FLAIR MR.
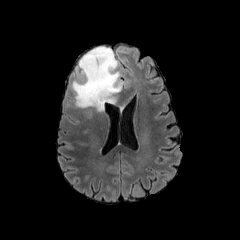
T1-weighted magnetic resonance.
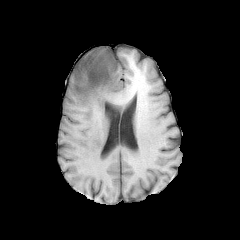
Post-contrast T1-weighted MR.
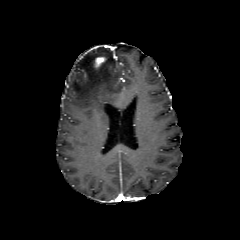
T2-weighted MR image.
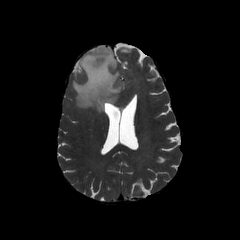
Brain.
<segmentation>
  <peritumoral_edema>{"x1": 71, "y1": 47, "x2": 122, "y2": 112}</peritumoral_edema>
  <enhancing_tumor>{"x1": 94, "y1": 56, "x2": 105, "y2": 67}</enhancing_tumor>
</segmentation>